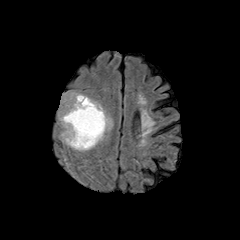
FLAIR magnetic resonance.
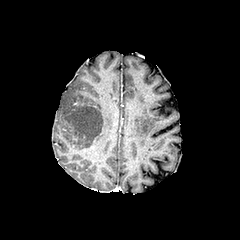
T1-weighted MRI of the same slice.
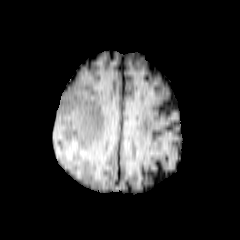
Post-contrast T1-weighted MR.
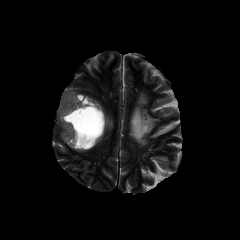
T2-weighted MR image.
Head. Axial slice. 240x240 px.
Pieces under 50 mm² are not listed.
{
  "peritumoral_edema": [
    {"x1": 59, "y1": 91, "x2": 112, "y2": 151}
  ],
  "necrotic_tumor_core": [
    {"x1": 64, "y1": 97, "x2": 104, "y2": 147}
  ]
}